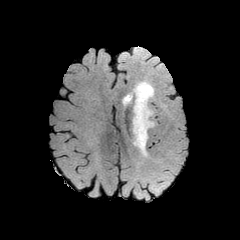
FLAIR magnetic resonance.
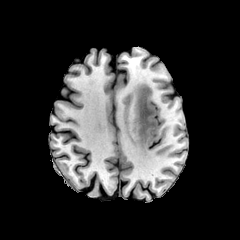
T1-weighted magnetic resonance of the same slice.
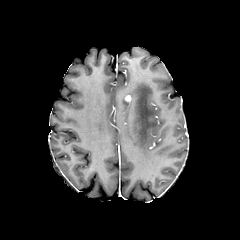
Post-contrast T1-weighted MRI of the same slice.
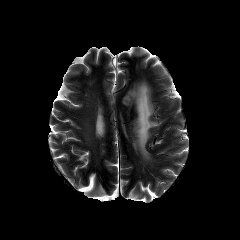
T2-weighted MR.
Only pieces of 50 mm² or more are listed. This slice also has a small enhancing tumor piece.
Segmented structures:
* peritumoral edema: box(122, 81, 155, 158)